FLAIR magnetic resonance.
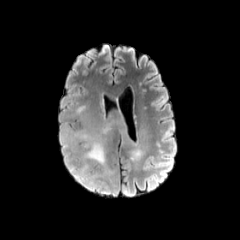
T1-weighted MR image.
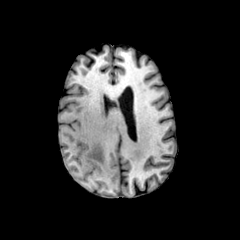
Post-contrast T1-weighted magnetic resonance.
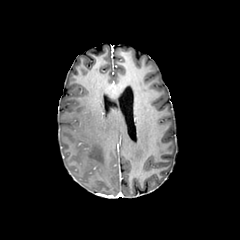
T2-weighted magnetic resonance.
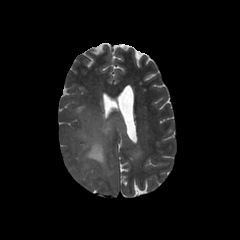
Axial plane. 240x240 px.
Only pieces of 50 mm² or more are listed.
peritumoral edema = [72, 123, 113, 183]